Head; Image width 240 mm; Axial view
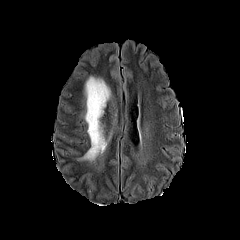
FLAIR MR.
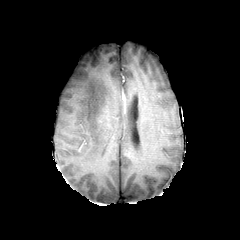
T1-weighted magnetic resonance.
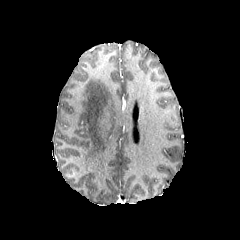
Same slice, post-contrast T1-weighted MR image.
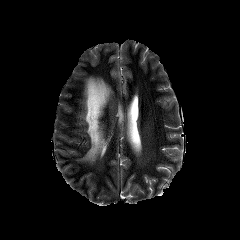
T2-weighted MRI.
{
  "peritumoral_edema": [
    "<box>83,76,110,160</box>"
  ]
}